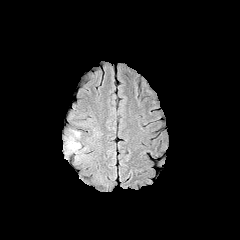
FLAIR MR image.
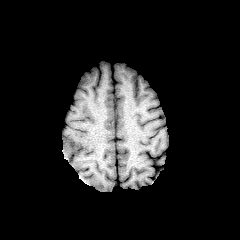
Same slice, T1-weighted MRI.
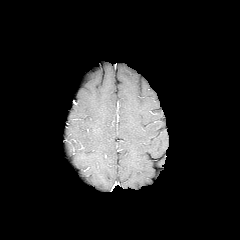
Post-contrast T1-weighted magnetic resonance.
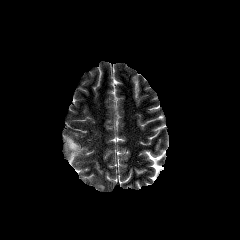
T2-weighted MRI.
Axial slice
<segmentation>
  <peritumoral_edema>(64,131,86,160)</peritumoral_edema>
</segmentation>